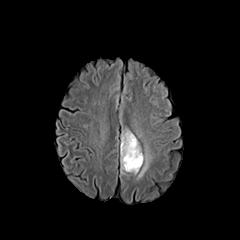
FLAIR magnetic resonance.
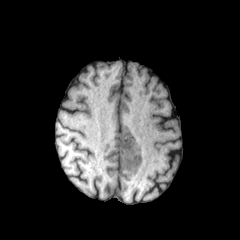
T1-weighted magnetic resonance of the same slice.
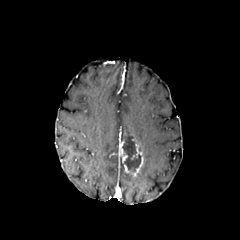
Post-contrast T1-weighted MR.
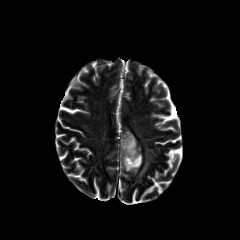
T2-weighted MR of the same slice.
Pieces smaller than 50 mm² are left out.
enhancing tumor = (left=119, top=139, right=127, bottom=163), (left=124, top=139, right=143, bottom=176)
peritumoral edema = (left=137, top=145, right=151, bottom=179), (left=121, top=128, right=136, bottom=140)
necrotic tumor core = (left=122, top=136, right=141, bottom=171)